240x240 px; Slice 96/155; Axial slice; Head
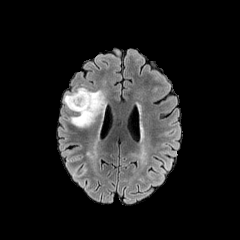
FLAIR MR.
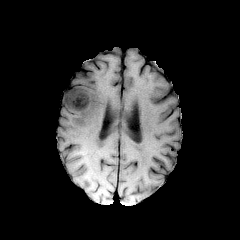
T1-weighted MRI.
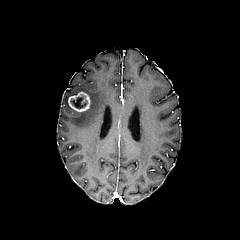
Post-contrast T1-weighted MRI.
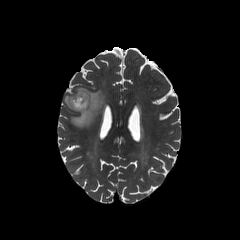
T2-weighted MR of the same slice.
The peritumoral edema is located at (63,87,105,127). The necrotic tumor core appears at (70,97,86,108). The enhancing tumor is located at (67,91,90,112).